Head. Slice 106/155.
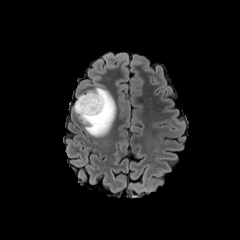
FLAIR MR.
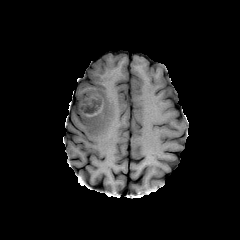
T1-weighted MR of the same slice.
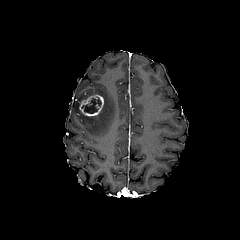
Post-contrast T1-weighted MR of the same slice.
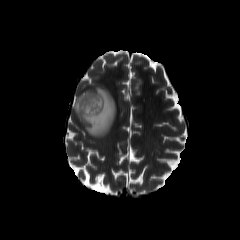
T2-weighted magnetic resonance.
The enhancing tumor lies within [79,94,104,117]. The peritumoral edema is at [74,87,116,137]. The necrotic tumor core appears at [82,98,101,113].